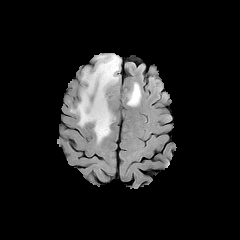
FLAIR MR.
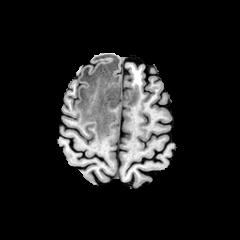
T1-weighted MRI.
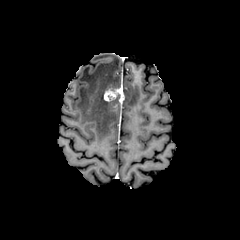
Post-contrast T1-weighted MRI of the same slice.
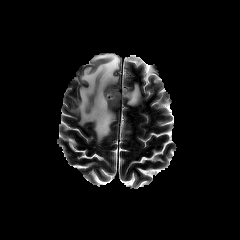
T2-weighted MR.
240x240 px
2 peritumoral edema regions are bounded by [126, 83, 141, 106], [71, 54, 120, 142]. The enhancing tumor is located at [104, 87, 124, 102].